Image width 240 mm, 1.00 mm slice spacing, Axial slice, Head
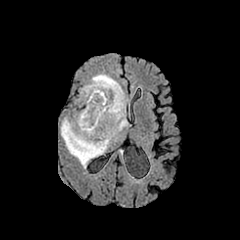
FLAIR MR image.
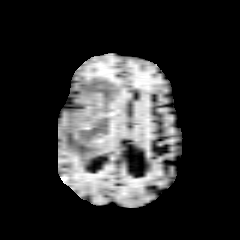
T1-weighted MR.
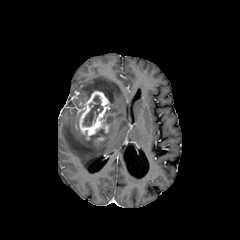
Post-contrast T1-weighted MR.
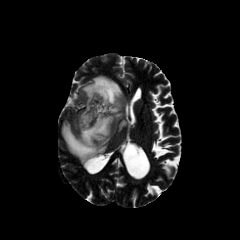
T2-weighted MRI of the same slice.
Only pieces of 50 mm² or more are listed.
enhancing tumor: bounding box 79, 91, 110, 140
necrotic tumor core: bounding box 83, 96, 103, 126
peritumoral edema: bounding box 61, 74, 127, 167